FLAIR MR image.
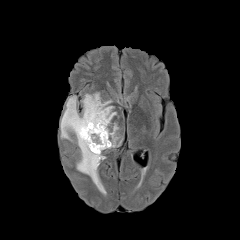
T1-weighted magnetic resonance.
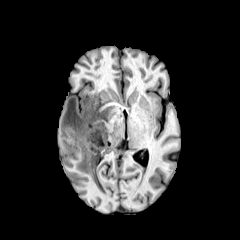
Post-contrast T1-weighted MR.
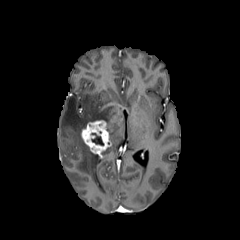
T2-weighted MR image.
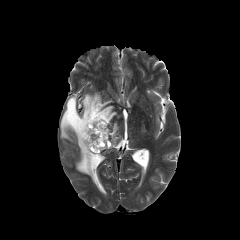
Brain.
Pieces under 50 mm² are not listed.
enhancing_tumor:
  - 81 120 111 156
peritumoral_edema:
  - 60 92 122 193
necrotic_tumor_core:
  - 91 133 103 145